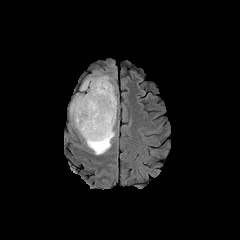
FLAIR MR.
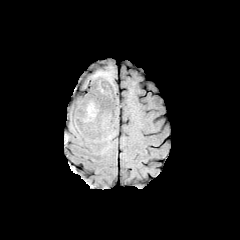
T1-weighted MR.
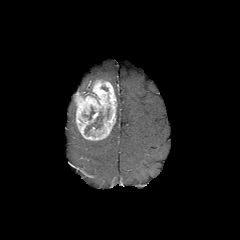
Post-contrast T1-weighted MR.
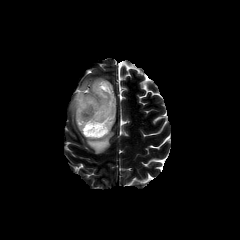
T2-weighted magnetic resonance.
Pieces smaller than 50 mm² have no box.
The enhancing tumor lies within bbox(74, 79, 116, 140). The largest necrotic tumor core region appears at bbox(85, 112, 103, 134). The 3 largest peritumoral edema regions are bounded by bbox(81, 76, 111, 91); bbox(85, 98, 117, 154); bbox(70, 100, 76, 127).